Axial slice | Image covers 240 mm x 240 mm | Head | Image size 240x240
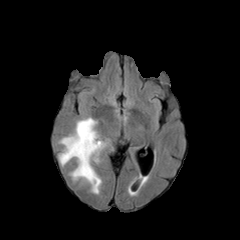
FLAIR MR image.
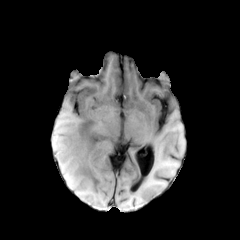
T1-weighted MRI.
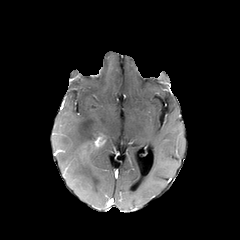
Post-contrast T1-weighted MRI.
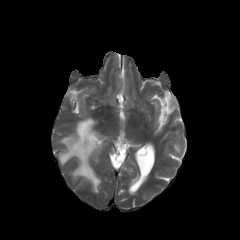
Same slice, T2-weighted magnetic resonance.
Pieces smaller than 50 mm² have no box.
peritumoral edema: {"x1": 59, "y1": 117, "x2": 107, "y2": 193} | enhancing tumor: {"x1": 81, "y1": 136, "x2": 104, "y2": 154}